Image size 240x240; Brain
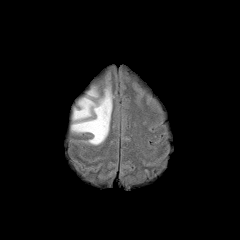
FLAIR MR.
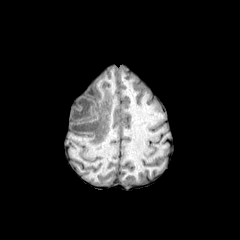
T1-weighted magnetic resonance.
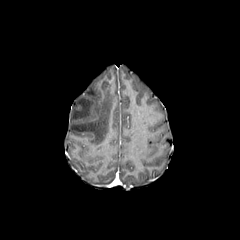
Post-contrast T1-weighted MR.
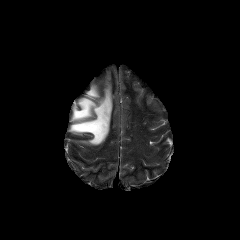
T2-weighted MR image of the same slice.
peritumoral_edema:
  - 71, 87, 112, 145